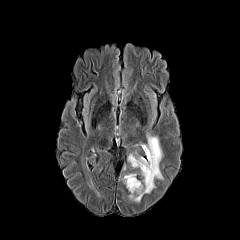
FLAIR magnetic resonance.
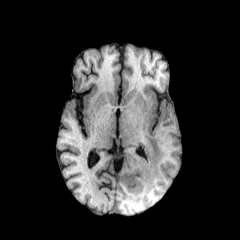
T1-weighted MRI.
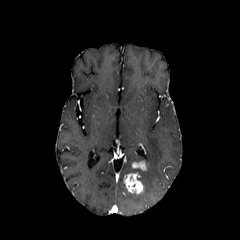
Post-contrast T1-weighted magnetic resonance.
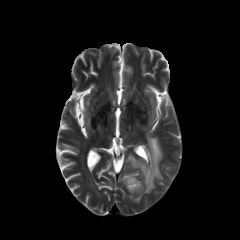
T2-weighted MRI.
Axial plane, Brain
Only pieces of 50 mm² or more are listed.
Segmented structures:
* peritumoral edema: 128 154 144 163, 129 135 163 202
* enhancing tumor: 131 160 147 170, 123 173 143 194